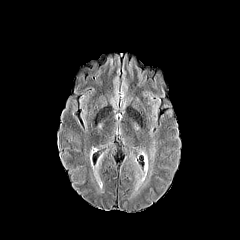
FLAIR MR.
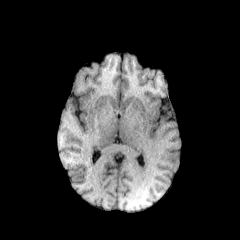
Same slice, T1-weighted magnetic resonance.
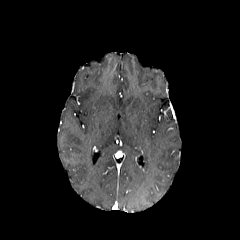
Post-contrast T1-weighted MR.
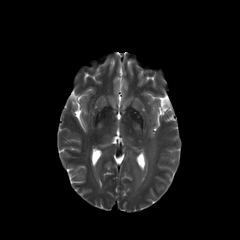
T2-weighted MR of the same slice.
Axial plane | Head
Annotated regions:
* peritumoral edema: rect(129, 124, 155, 194); rect(92, 154, 103, 186)